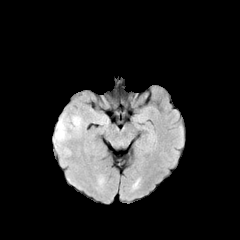
FLAIR MR.
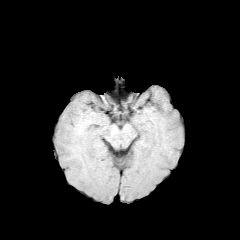
T1-weighted MRI of the same slice.
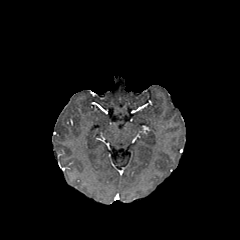
Post-contrast T1-weighted MR image.
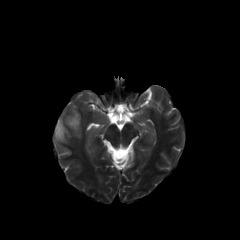
T2-weighted MRI of the same slice.
Head | Axial plane
* peritumoral edema: {"x1": 53, "y1": 103, "x2": 83, "y2": 154}